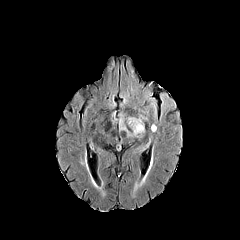
FLAIR MR image.
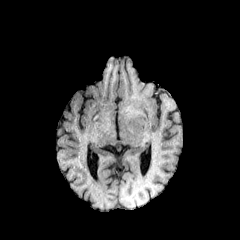
Same slice, T1-weighted MR image.
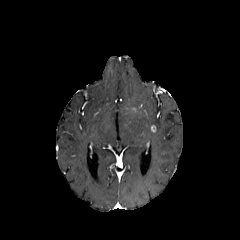
Post-contrast T1-weighted MRI.
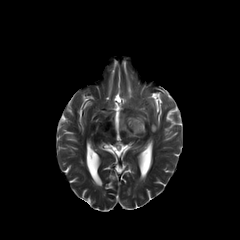
Same slice, T2-weighted magnetic resonance.
Head. 240x240 px.
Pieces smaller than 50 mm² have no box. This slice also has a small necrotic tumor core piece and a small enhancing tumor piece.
The largest peritumoral edema region is bounded by rect(121, 115, 144, 137).